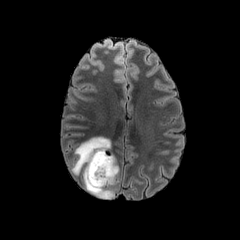
FLAIR magnetic resonance.
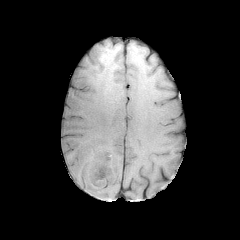
T1-weighted magnetic resonance of the same slice.
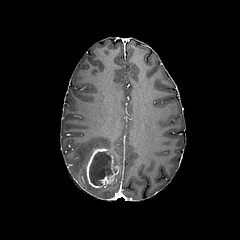
Same slice, post-contrast T1-weighted MR.
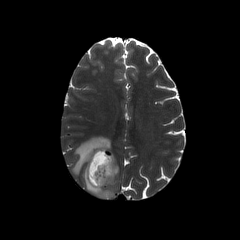
T2-weighted magnetic resonance.
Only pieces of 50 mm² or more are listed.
necrotic_tumor_core:
  - region(89, 151, 112, 185)
peritumoral_edema:
  - region(71, 137, 117, 198)
enhancing_tumor:
  - region(85, 148, 118, 188)